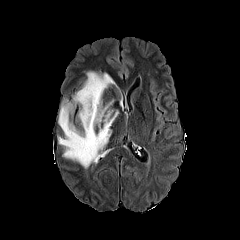
FLAIR MR.
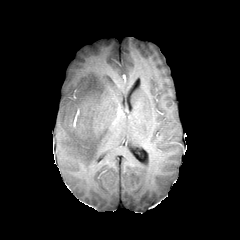
Same slice, T1-weighted MRI.
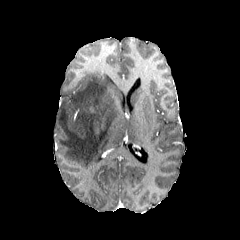
Post-contrast T1-weighted MR image.
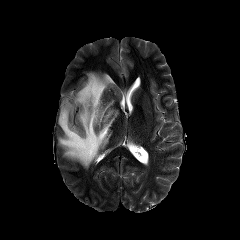
T2-weighted MRI of the same slice.
Head; Axial view
peritumoral edema — 58,71,118,168